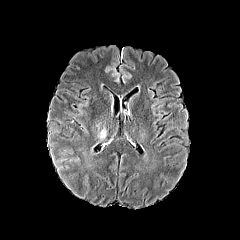
FLAIR magnetic resonance.
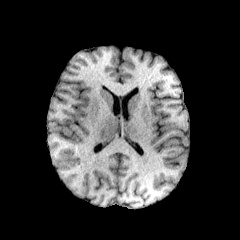
T1-weighted magnetic resonance.
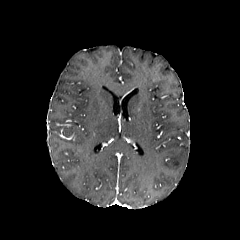
Post-contrast T1-weighted magnetic resonance.
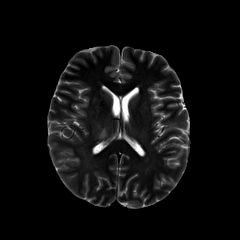
T2-weighted MRI.
240x240 px. Brain.
peritumoral edema — {"x1": 98, "y1": 128, "x2": 106, "y2": 139}